FLAIR MRI.
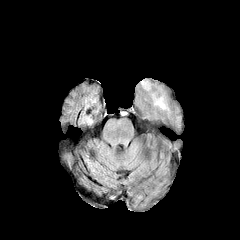
T1-weighted magnetic resonance.
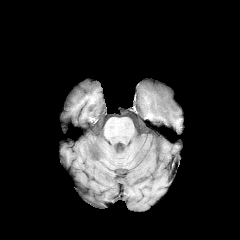
Post-contrast T1-weighted MR.
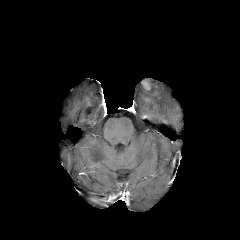
T2-weighted MR.
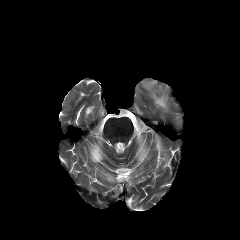
240x240.
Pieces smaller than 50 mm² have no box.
enhancing tumor at box=[142, 80, 152, 89]
peritumoral edema at box=[151, 92, 169, 111]